FLAIR MRI.
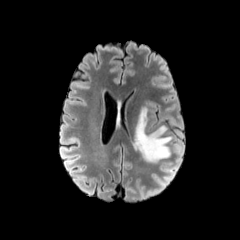
T1-weighted MRI.
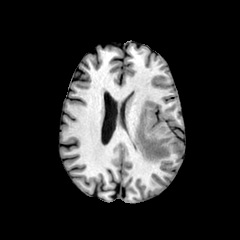
Post-contrast T1-weighted MR.
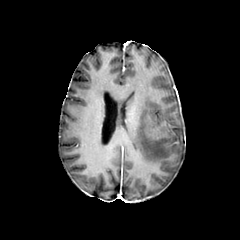
T2-weighted MR.
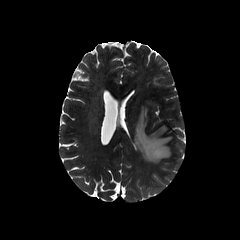
Brain
The peritumoral edema appears at <bbox>133, 107, 172, 163</bbox>.